FLAIR MR image.
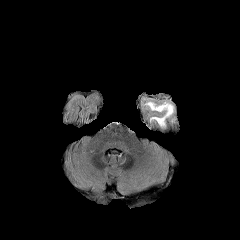
T1-weighted MR image.
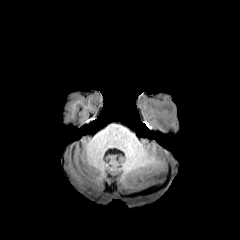
Post-contrast T1-weighted magnetic resonance.
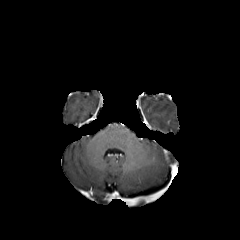
T2-weighted MR image.
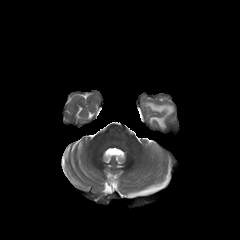
Head, Axial plane
2 peritumoral edema regions appear at (152, 117, 165, 126), (148, 102, 172, 116).